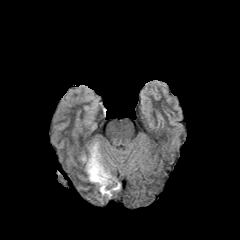
FLAIR MR image.
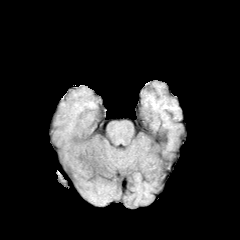
Same slice, T1-weighted MR.
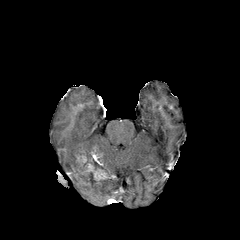
Post-contrast T1-weighted MR.
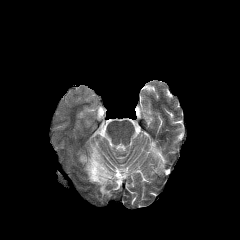
T2-weighted MRI.
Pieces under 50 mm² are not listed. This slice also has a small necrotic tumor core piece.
peritumoral edema: bounding box <bbox>87, 172, 111, 197</bbox>, <bbox>85, 142, 100, 171</bbox>
enhancing tumor: bounding box <bbox>87, 146, 113, 181</bbox>